FLAIR MR.
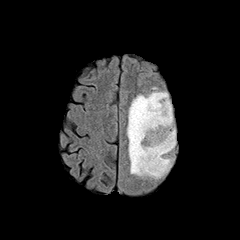
T1-weighted MR.
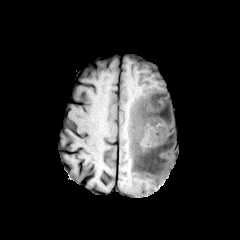
Post-contrast T1-weighted MR image.
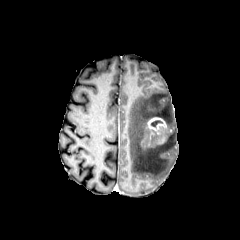
T2-weighted MR image.
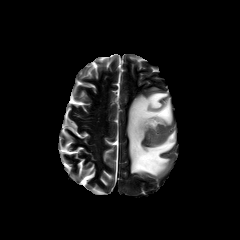
Head; Axial slice
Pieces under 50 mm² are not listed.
The largest enhancing tumor region lies within {"x1": 147, "y1": 117, "x2": 166, "y2": 134}. The peritumoral edema is bounded by {"x1": 127, "y1": 87, "x2": 176, "y2": 179}. The necrotic tumor core is at {"x1": 151, "y1": 120, "x2": 162, "y2": 127}.